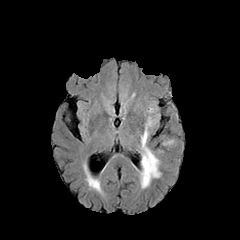
FLAIR MR image.
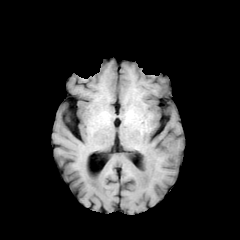
T1-weighted magnetic resonance.
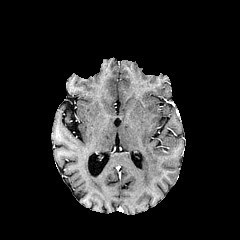
Post-contrast T1-weighted MRI.
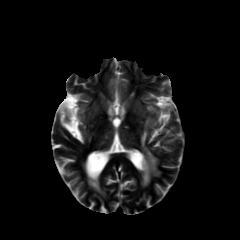
Same slice, T2-weighted magnetic resonance.
Head
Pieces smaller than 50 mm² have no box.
peritumoral edema: rect(141, 119, 160, 187)